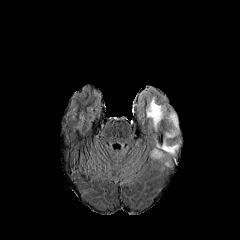
FLAIR MR.
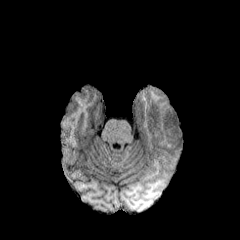
Same slice, T1-weighted MR image.
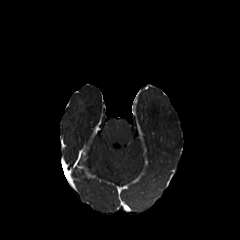
Post-contrast T1-weighted MR of the same slice.
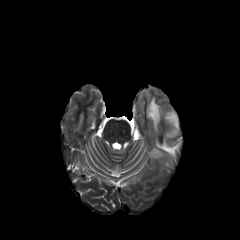
Same slice, T2-weighted magnetic resonance.
Axial slice; 240x240 px; Head
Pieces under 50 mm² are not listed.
{"peritumoral_edema": ["<box>166,112,178,137</box>", "<box>146,97,163,129</box>", "<box>152,149,162,158</box>", "<box>157,140,179,156</box>"]}